240x240 px. Brain. Slice index 105.
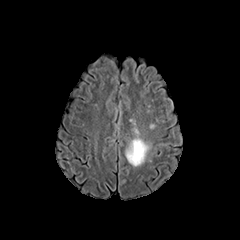
FLAIR MR.
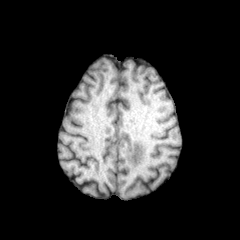
T1-weighted MR of the same slice.
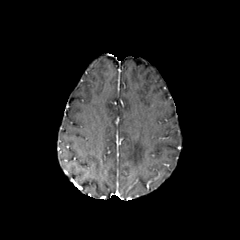
Post-contrast T1-weighted MR image.
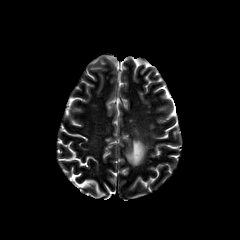
T2-weighted magnetic resonance.
Findings:
* peritumoral edema: [x1=125, y1=120, x2=150, y2=166]